FLAIR MRI.
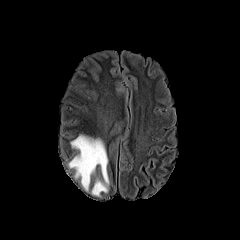
T1-weighted magnetic resonance.
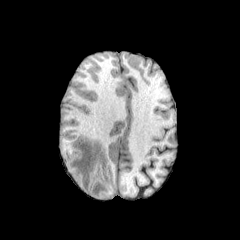
Post-contrast T1-weighted MR.
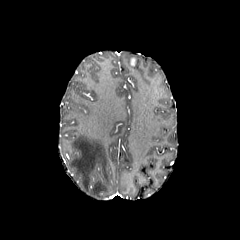
T2-weighted magnetic resonance.
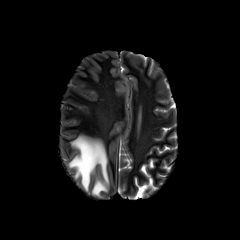
<segmentation>
  <peritumoral_edema>x1=69, y1=135, x2=109, y2=195</peritumoral_edema>
</segmentation>